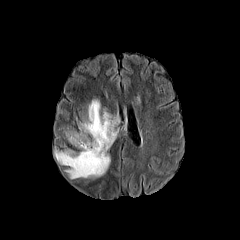
FLAIR MR image.
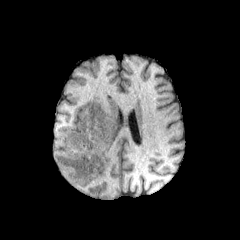
T1-weighted MRI.
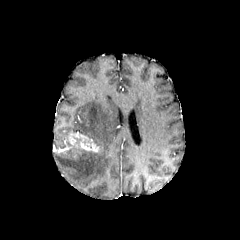
Post-contrast T1-weighted MR.
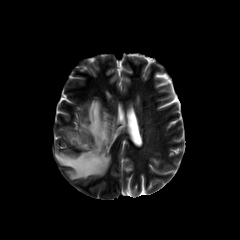
T2-weighted MR.
Head. Axial plane. Image size 240x240.
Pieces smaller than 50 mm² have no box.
enhancing tumor: (68, 132, 99, 152) | peritumoral edema: (54, 99, 120, 179)